FLAIR MRI.
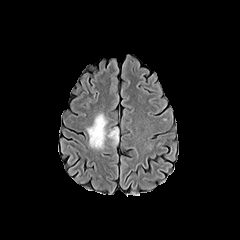
T1-weighted MRI.
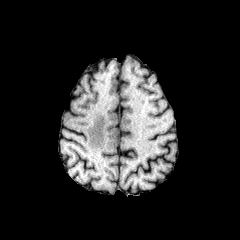
Post-contrast T1-weighted MRI.
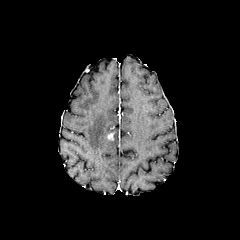
T2-weighted MR image.
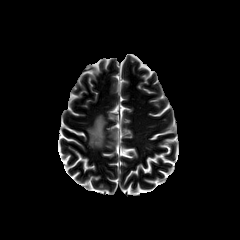
240x240 px; Head; Axial slice
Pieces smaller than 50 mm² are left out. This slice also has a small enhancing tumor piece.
2 peritumoral edema regions appear at x1=110, y1=128, x2=118, y2=144; x1=87, y1=113, x2=108, y2=149.